Slice 86 of 155
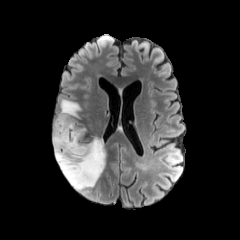
FLAIR magnetic resonance.
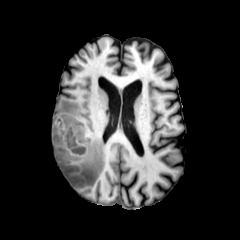
T1-weighted MR image.
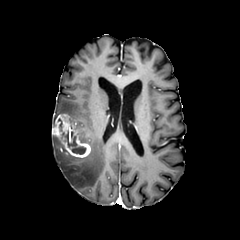
Post-contrast T1-weighted MR image of the same slice.
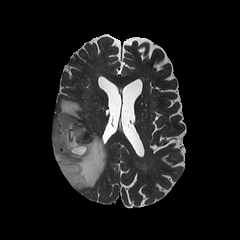
T2-weighted MR.
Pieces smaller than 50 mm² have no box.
{
  "necrotic_tumor_core": [
    "x1=65 y1=130 x2=86 y2=154"
  ],
  "peritumoral_edema": [
    "x1=52 y1=99 x2=105 y2=191"
  ],
  "enhancing_tumor": [
    "x1=52 y1=114 x2=91 y2=157"
  ]
}